FLAIR MRI.
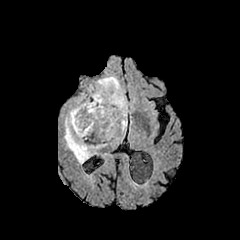
T1-weighted magnetic resonance.
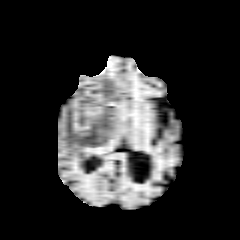
Post-contrast T1-weighted MR image.
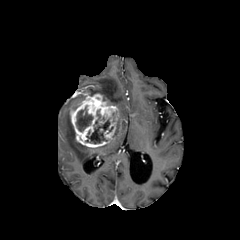
T2-weighted MRI.
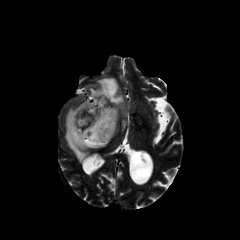
Axial view; Brain
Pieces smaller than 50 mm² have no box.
The 2 largest peritumoral edema regions appear at [88, 76, 130, 133], [64, 110, 106, 163]. The largest enhancing tumor region lies within [69, 93, 119, 147]. The 2 largest necrotic tumor core regions are located at [86, 119, 113, 144], [76, 107, 92, 131].